Slice index 88; Head
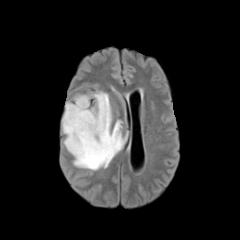
FLAIR magnetic resonance.
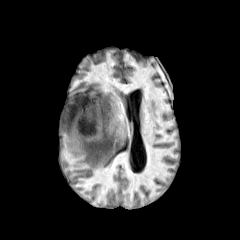
T1-weighted MRI.
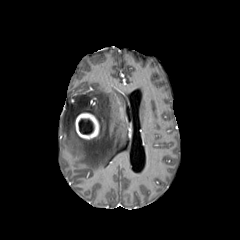
Post-contrast T1-weighted MR.
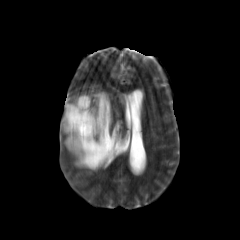
T2-weighted magnetic resonance.
Findings:
* peritumoral edema: l=62, t=92, r=126, b=170
* enhancing tumor: l=75, t=113, r=99, b=139
* necrotic tumor core: l=78, t=119, r=93, b=134